Brain, Slice index 40, Axial slice
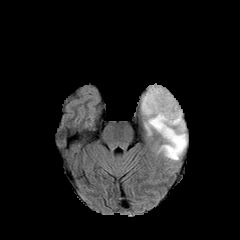
FLAIR MR.
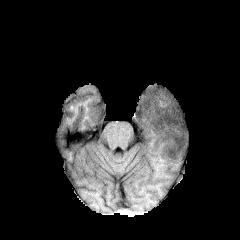
T1-weighted MR.
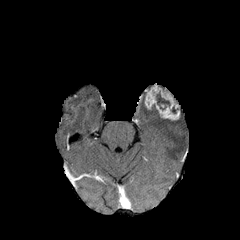
Post-contrast T1-weighted MR of the same slice.
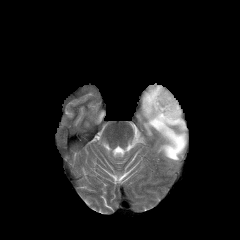
T2-weighted MR of the same slice.
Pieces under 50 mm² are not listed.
enhancing tumor — region(144, 84, 180, 120)
peritumoral edema — region(141, 95, 187, 160)
necrotic tumor core — region(156, 93, 169, 109)